FLAIR MRI.
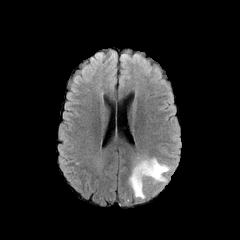
T1-weighted magnetic resonance.
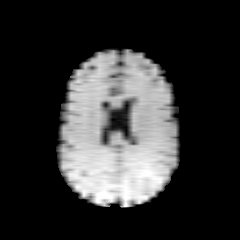
Post-contrast T1-weighted MR.
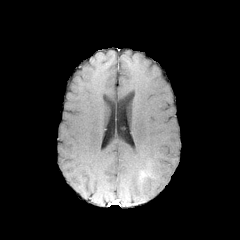
T2-weighted magnetic resonance.
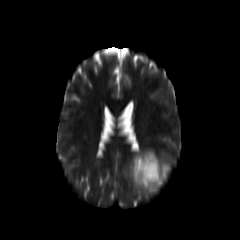
Head
enhancing tumor — rect(139, 170, 151, 181)
peritumoral edema — rect(129, 154, 171, 199)